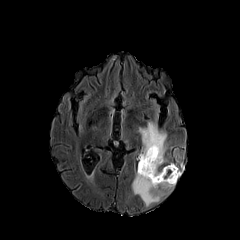
FLAIR magnetic resonance.
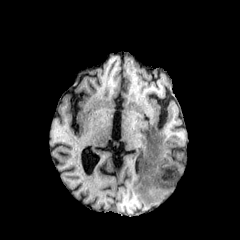
T1-weighted MR image.
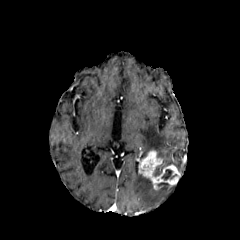
Post-contrast T1-weighted MR.
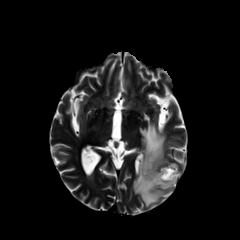
T2-weighted magnetic resonance.
Axial slice
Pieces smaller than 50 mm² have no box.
The 2 largest necrotic tumor core regions are bounded by rect(154, 166, 162, 176); rect(162, 169, 176, 179). The enhancing tumor is at rect(138, 150, 180, 189). The 2 largest peritumoral edema regions are bounded by rect(139, 121, 166, 163); rect(132, 172, 173, 206).